FLAIR MR image.
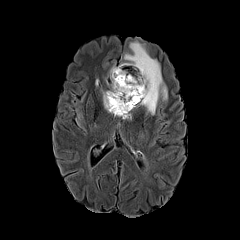
T1-weighted MRI.
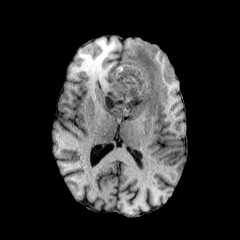
Post-contrast T1-weighted magnetic resonance.
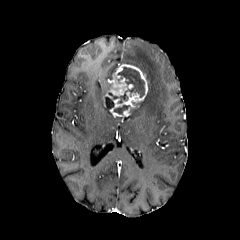
T2-weighted MRI.
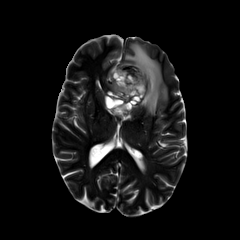
Brain
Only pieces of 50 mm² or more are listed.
{
  "necrotic_tumor_core": [
    "117,67,144,97",
    "105,97,114,109",
    "114,105,129,114",
    "108,92,127,102"
  ],
  "enhancing_tumor": [
    "103,64,148,117"
  ],
  "peritumoral_edema": [
    "123,41,167,115"
  ]
}